240x240 px, Slice index 98
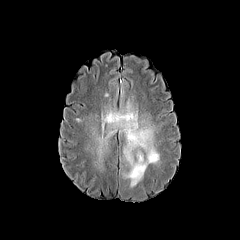
FLAIR MR image.
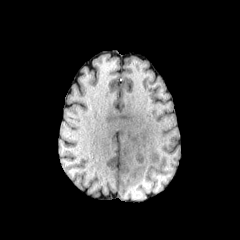
T1-weighted MR image.
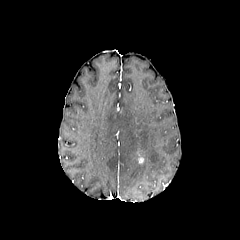
Post-contrast T1-weighted magnetic resonance.
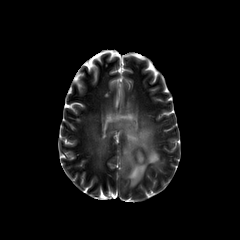
T2-weighted MR image.
• enhancing tumor: [x1=137, y1=151, x2=144, y2=163]
• peritumoral edema: [x1=83, y1=84, x2=161, y2=188]